Axial view | 240x240 | Head | Slice 91 of 155
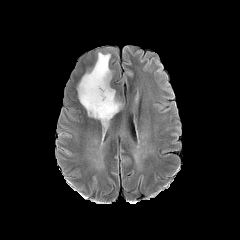
FLAIR magnetic resonance.
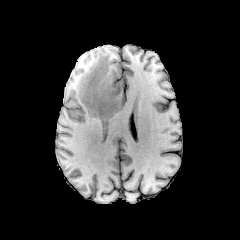
T1-weighted MR image.
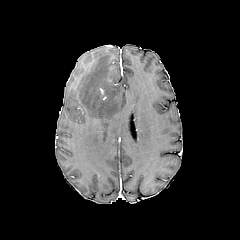
Same slice, post-contrast T1-weighted magnetic resonance.
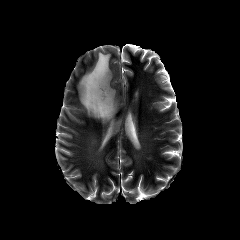
T2-weighted magnetic resonance of the same slice.
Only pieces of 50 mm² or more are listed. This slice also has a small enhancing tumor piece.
{"peritumoral_edema": ["bbox(77, 52, 121, 126)"]}